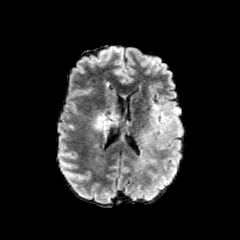
FLAIR MR image.
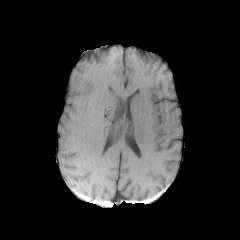
T1-weighted MRI.
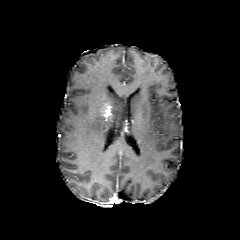
Post-contrast T1-weighted MR image.
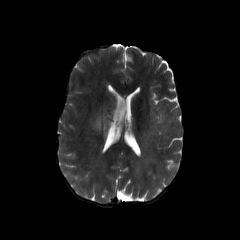
T2-weighted magnetic resonance.
peritumoral edema: (138,105,182,172), (92,109,118,136) | enhancing tumor: (99,103,112,121)